Head. 240x240. Axial slice. Image covers 240 mm x 240 mm.
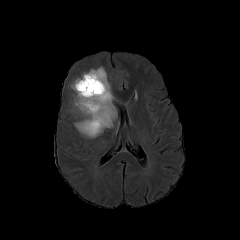
FLAIR MR image.
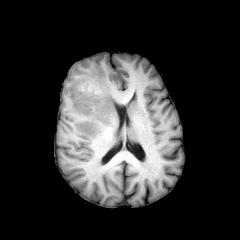
T1-weighted MR.
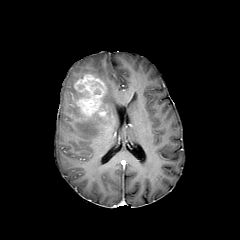
Post-contrast T1-weighted MR.
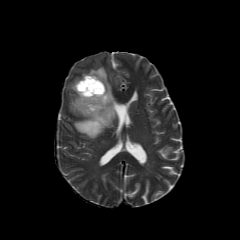
T2-weighted MRI of the same slice.
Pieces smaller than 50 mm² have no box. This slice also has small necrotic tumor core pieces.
enhancing tumor: l=74, t=74, r=107, b=118
peritumoral edema: l=71, t=67, r=116, b=137